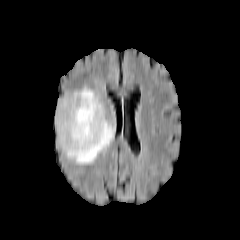
FLAIR MRI.
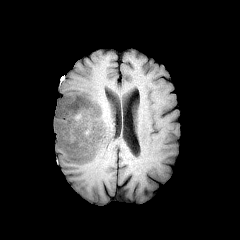
Same slice, T1-weighted magnetic resonance.
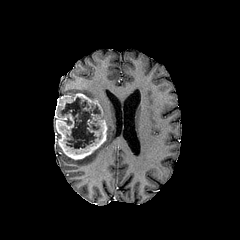
Post-contrast T1-weighted MRI.
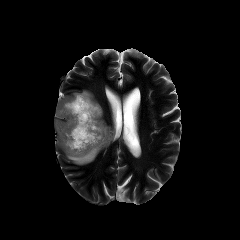
T2-weighted magnetic resonance of the same slice.
Head; Axial view
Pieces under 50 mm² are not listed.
Findings:
• peritumoral edema: l=66, t=88, r=114, b=165
• enhancing tumor: l=54, t=93, r=107, b=159
• necrotic tumor core: l=60, t=97, r=100, b=148